Brain
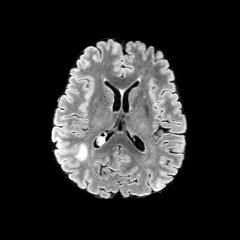
FLAIR MR.
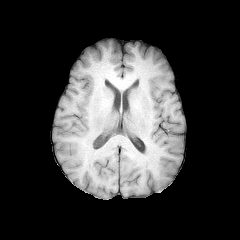
T1-weighted MR image of the same slice.
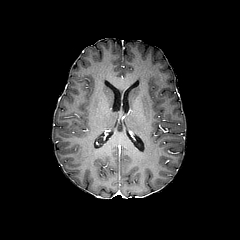
Same slice, post-contrast T1-weighted MRI.
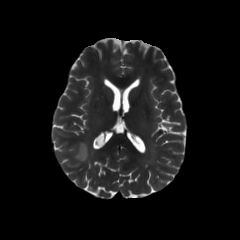
Same slice, T2-weighted MR.
The peritumoral edema is located at (left=75, top=143, right=87, bottom=160).